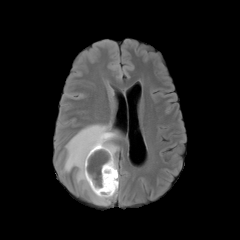
FLAIR MR.
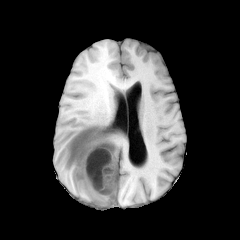
Same slice, T1-weighted magnetic resonance.
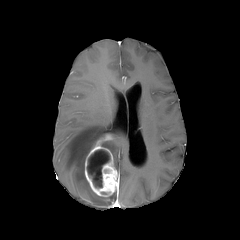
Post-contrast T1-weighted magnetic resonance.
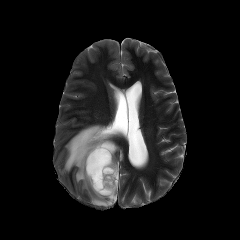
Same slice, T2-weighted MR image.
Axial slice | Image size 240x240
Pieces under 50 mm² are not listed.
The largest necrotic tumor core region is bounded by bbox=[87, 149, 109, 187]. The enhancing tumor is located at bbox=[85, 134, 119, 196]. The largest peritumoral edema region lies within bbox=[63, 123, 119, 205].